Image width 240 mm.
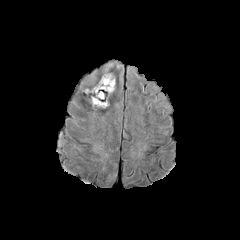
FLAIR magnetic resonance.
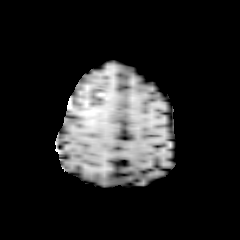
T1-weighted magnetic resonance of the same slice.
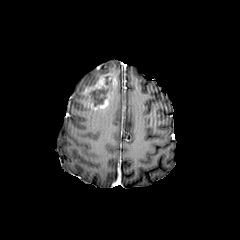
Post-contrast T1-weighted MRI.
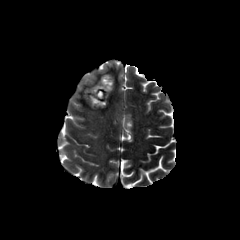
T2-weighted MR image of the same slice.
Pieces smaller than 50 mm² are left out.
<segmentation>
  <enhancing_tumor>x1=81 y1=73 x2=117 y2=109</enhancing_tumor>
  <necrotic_tumor_core>x1=91 y1=89 x2=106 y2=106</necrotic_tumor_core>
</segmentation>